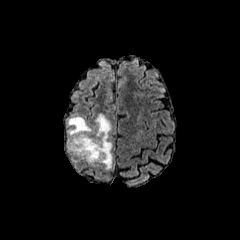
FLAIR MR.
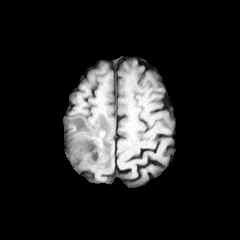
T1-weighted magnetic resonance.
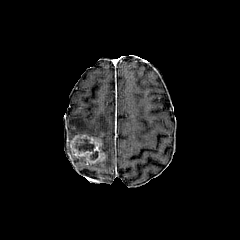
Post-contrast T1-weighted MR image.
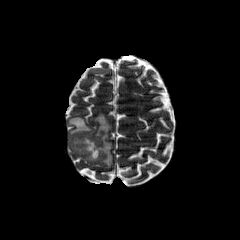
T2-weighted MR.
Head, 240x240
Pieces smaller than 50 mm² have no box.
peritumoral_edema:
  - 95, 113, 112, 168
  - 68, 116, 93, 138
necrotic_tumor_core:
  - 75, 138, 94, 151
  - 90, 151, 98, 159
enhancing_tumor:
  - 68, 134, 105, 163